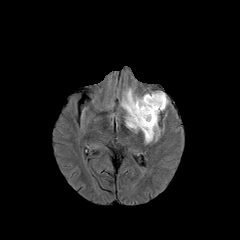
FLAIR MRI.
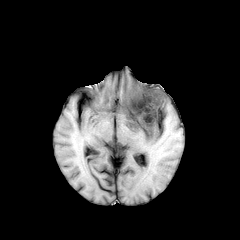
T1-weighted magnetic resonance.
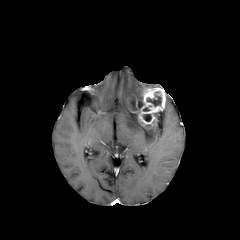
Post-contrast T1-weighted magnetic resonance of the same slice.
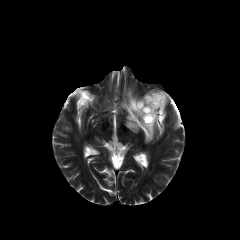
T2-weighted MRI of the same slice.
Image size 240x240; Head; Axial view
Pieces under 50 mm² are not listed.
The enhancing tumor lies within l=129, t=88, r=165, b=129. The 2 largest necrotic tumor core regions are located at l=147, t=96, r=161, b=106; l=143, t=114, r=151, b=121. The largest peritumoral edema region is located at l=121, t=88, r=159, b=143.